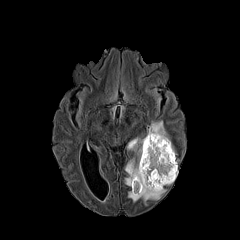
FLAIR magnetic resonance.
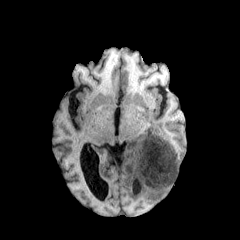
T1-weighted magnetic resonance of the same slice.
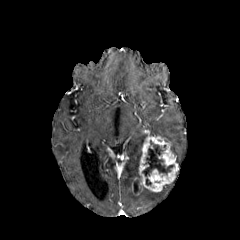
Post-contrast T1-weighted MR image.
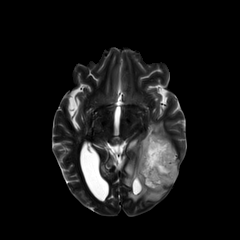
Same slice, T2-weighted MRI.
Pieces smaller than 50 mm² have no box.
necrotic tumor core: bounding box region(142, 140, 173, 176)
peritumoral edema: bounding box region(124, 137, 145, 188); region(148, 120, 176, 155); region(128, 187, 166, 204)
enhancing tumor: bounding box region(132, 133, 178, 194)